Image covers 240 mm x 240 mm | Slice index 61 | Head
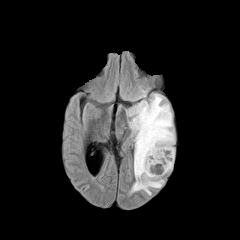
FLAIR MRI.
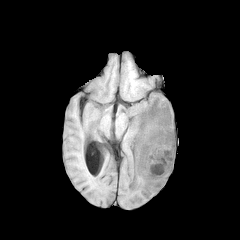
T1-weighted magnetic resonance.
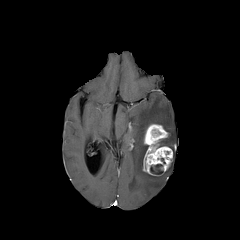
Same slice, post-contrast T1-weighted MRI.
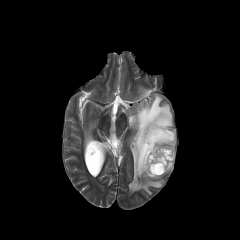
Same slice, T2-weighted MR.
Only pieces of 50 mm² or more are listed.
Segmented structures:
• enhancing tumor: [x1=143, y1=124, x2=173, y2=175]
• necrotic tumor core: [x1=150, y1=164, x2=163, y2=174]
• peritumoral edema: [x1=127, y1=93, x2=175, y2=194]